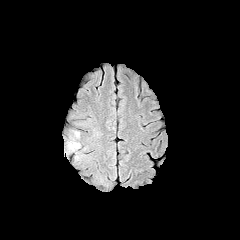
FLAIR magnetic resonance.
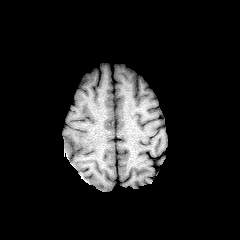
T1-weighted MR image.
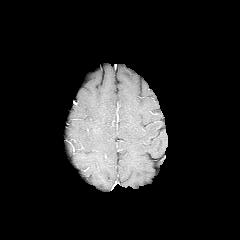
Post-contrast T1-weighted MRI.
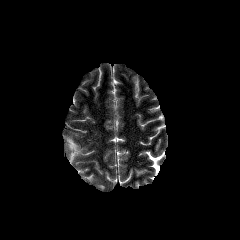
Same slice, T2-weighted MR image.
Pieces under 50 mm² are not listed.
The largest peritumoral edema region appears at <box>65,131,80,159</box>.